FLAIR magnetic resonance.
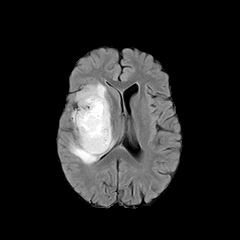
T1-weighted MR.
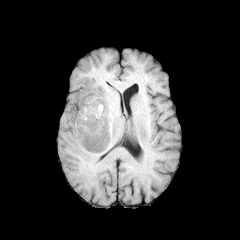
Post-contrast T1-weighted MR image.
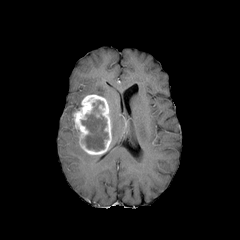
T2-weighted MR.
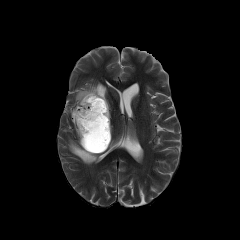
240x240 px; Axial plane
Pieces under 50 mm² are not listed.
- necrotic tumor core: box=[81, 101, 108, 151]
- peritumoral edema: box=[69, 128, 100, 164]; box=[75, 83, 106, 107]
- enhancing tumor: box=[72, 94, 111, 154]